FLAIR MR.
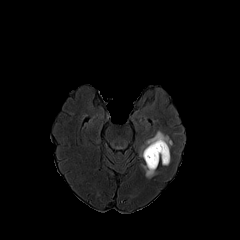
T1-weighted MRI.
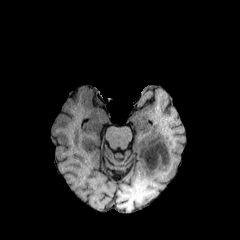
Post-contrast T1-weighted magnetic resonance.
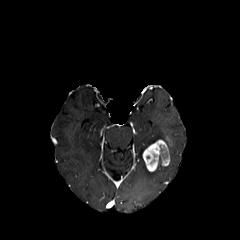
T2-weighted magnetic resonance.
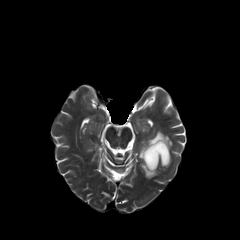
Axial slice
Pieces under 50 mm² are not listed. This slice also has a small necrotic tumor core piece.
Findings:
- peritumoral edema: l=145, t=131, r=172, b=151; l=141, t=164, r=158, b=178
- enhancing tumor: l=142, t=139, r=169, b=171